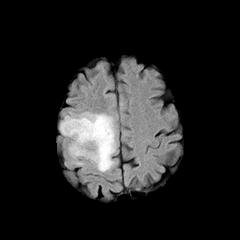
FLAIR MRI.
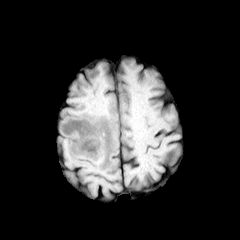
T1-weighted MRI.
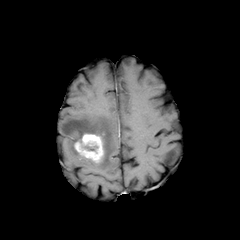
Post-contrast T1-weighted MR.
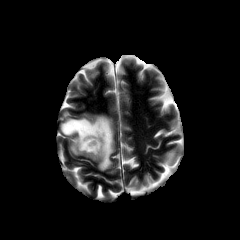
Same slice, T2-weighted magnetic resonance.
Axial slice | 240x240
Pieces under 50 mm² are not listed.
The necrotic tumor core is at 81,139,98,150. The largest peritumoral edema region is at 60,112,115,171. The enhancing tumor lies within 74,133,103,162.